Slice index 45. Image size 240x240. Brain.
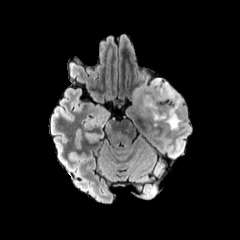
FLAIR magnetic resonance.
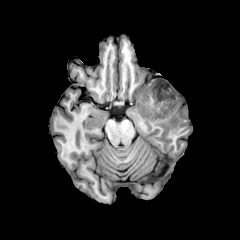
T1-weighted magnetic resonance of the same slice.
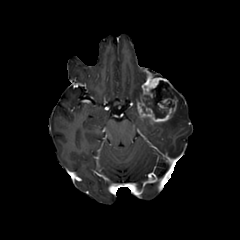
Post-contrast T1-weighted MR image.
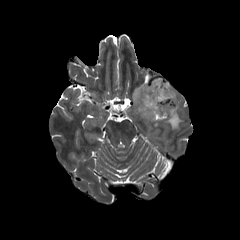
T2-weighted MR image.
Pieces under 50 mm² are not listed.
{
  "enhancing_tumor": [
    "<box>136,76,177,122</box>"
  ],
  "peritumoral_edema": [
    "<box>133,86,141,104</box>",
    "<box>162,89,183,130</box>"
  ],
  "necrotic_tumor_core": [
    "<box>143,80,174,118</box>"
  ]
}